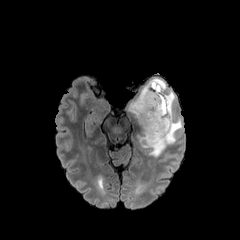
FLAIR MR image.
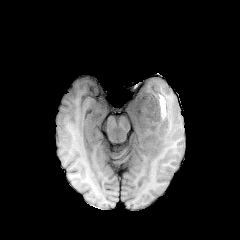
T1-weighted MR image of the same slice.
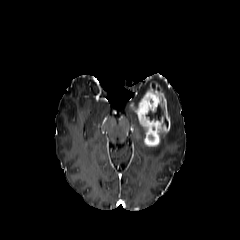
Post-contrast T1-weighted magnetic resonance.
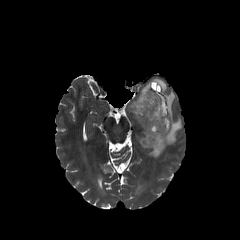
T2-weighted MRI of the same slice.
Axial view
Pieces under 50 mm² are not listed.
enhancing tumor: l=130, t=80, r=170, b=147 | necrotic tumor core: l=146, t=99, r=168, b=127 | peritumoral edema: l=134, t=78, r=182, b=156